Image width 240 mm
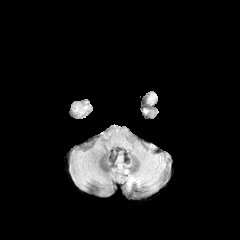
FLAIR MRI.
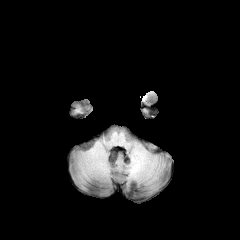
Same slice, T1-weighted magnetic resonance.
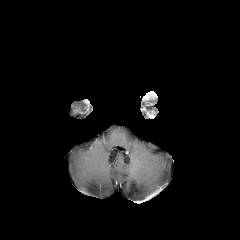
Post-contrast T1-weighted MRI.
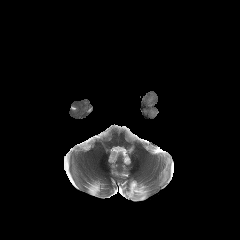
T2-weighted magnetic resonance of the same slice.
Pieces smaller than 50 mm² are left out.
Segmented structures:
* enhancing tumor: bbox(147, 92, 156, 99)